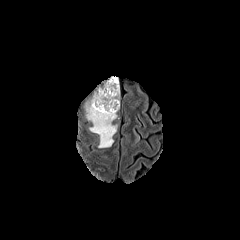
FLAIR MR image.
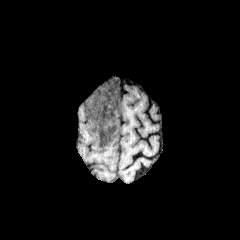
T1-weighted magnetic resonance.
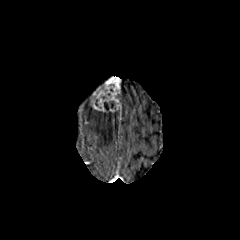
Post-contrast T1-weighted MR image of the same slice.
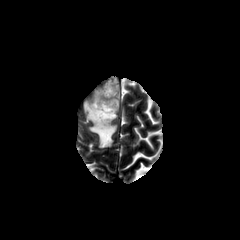
T2-weighted MR image.
Head. 240x240. Axial slice.
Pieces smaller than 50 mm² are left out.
enhancing tumor at {"x1": 90, "y1": 76, "x2": 121, "y2": 112}
peritumoral edema at {"x1": 86, "y1": 102, "x2": 116, "y2": 147}
necrotic tumor core at {"x1": 98, "y1": 101, "x2": 114, "y2": 115}